FLAIR MRI.
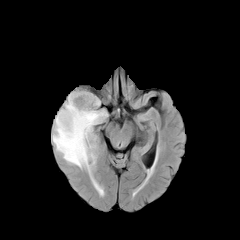
T1-weighted MR image.
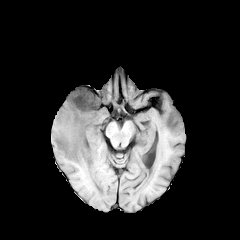
Post-contrast T1-weighted magnetic resonance.
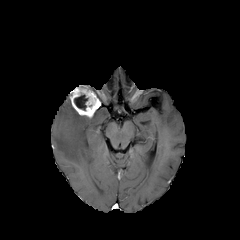
T2-weighted MR image.
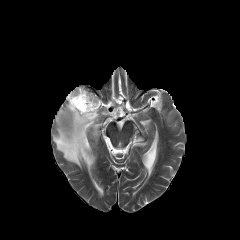
Head
<segmentation>
  <peritumoral_edema>left=52, top=98, right=107, bottom=175</peritumoral_edema>
  <necrotic_tumor_core>left=74, top=95, right=87, bottom=110</necrotic_tumor_core>
  <enhancing_tumor>left=68, top=86, right=100, bottom=118</enhancing_tumor>
</segmentation>